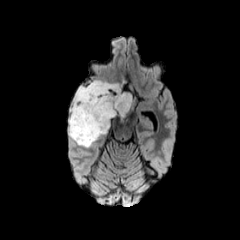
FLAIR MR.
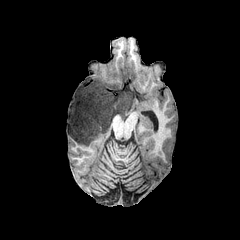
T1-weighted MR.
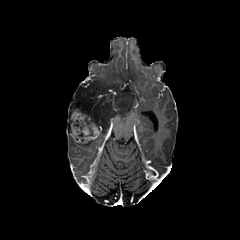
Same slice, post-contrast T1-weighted MR.
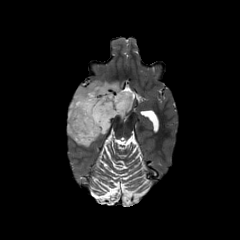
T2-weighted magnetic resonance.
Axial slice. Head.
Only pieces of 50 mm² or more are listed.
{
  "enhancing_tumor": [
    "l=70, t=108, r=101, b=143"
  ],
  "peritumoral_edema": [
    "l=68, t=80, r=132, b=135",
    "l=77, t=136, r=98, b=147"
  ],
  "necrotic_tumor_core": [
    "l=73, t=120, r=83, b=130"
  ]
}